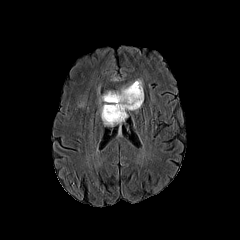
FLAIR MR image.
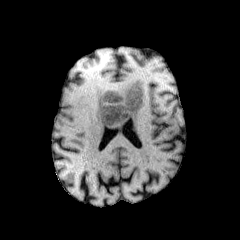
Same slice, T1-weighted MR image.
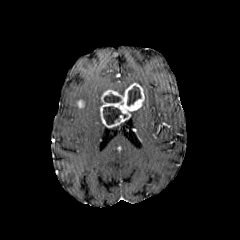
Post-contrast T1-weighted MR of the same slice.
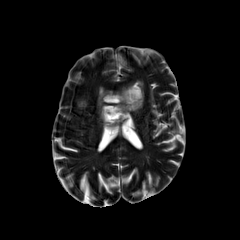
Same slice, T2-weighted MR image.
Head; 240x240
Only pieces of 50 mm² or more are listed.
enhancing tumor: {"x1": 100, "y1": 82, "x2": 144, "y2": 126}
necrotic tumor core: {"x1": 127, "y1": 86, "x2": 140, "y2": 105}, {"x1": 103, "y1": 106, "x2": 122, "y2": 125}, {"x1": 104, "y1": 94, "x2": 121, "y2": 102}
peritumoral edema: {"x1": 117, "y1": 82, "x2": 133, "y2": 93}